Image width 240 mm; Image size 240x240; Head
FLAIR MR.
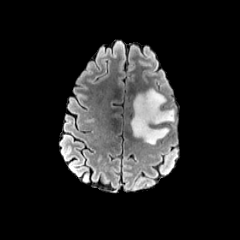
T1-weighted MR image.
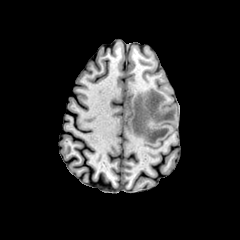
Post-contrast T1-weighted MRI.
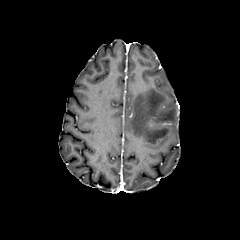
T2-weighted MRI.
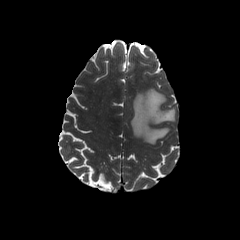
The peritumoral edema appears at 130,88,175,144.